FLAIR magnetic resonance.
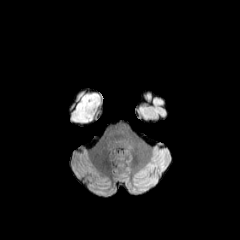
T1-weighted MR.
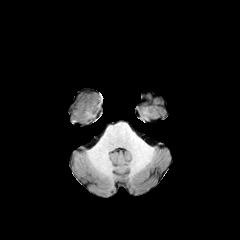
Post-contrast T1-weighted magnetic resonance.
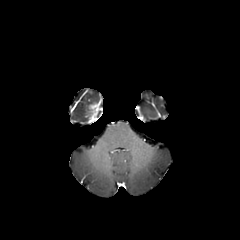
T2-weighted MR.
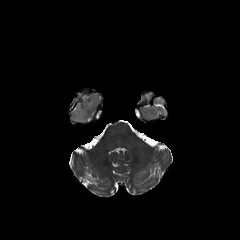
Brain
<segmentation>
  <enhancing_tumor>89:101:100:118</enhancing_tumor>
  <peritumoral_edema>73:93:100:122</peritumoral_edema>
</segmentation>